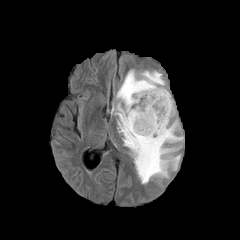
FLAIR magnetic resonance.
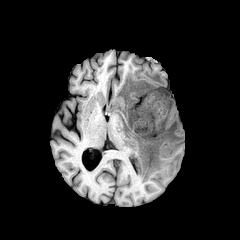
Same slice, T1-weighted MRI.
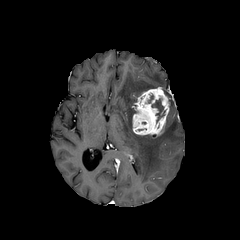
Post-contrast T1-weighted MRI.
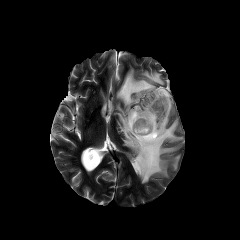
Same slice, T2-weighted MR.
Axial view; Head
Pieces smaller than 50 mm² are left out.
<segmentation>
  <necrotic_tumor_core>region(152, 99, 164, 119)</necrotic_tumor_core>
  <peritumoral_edema>region(111, 70, 183, 183)</peritumoral_edema>
  <enhancing_tumor>region(132, 87, 170, 136)</enhancing_tumor>
</segmentation>